Slice 75 of 155, Axial plane, Image width 240 mm, 1.00 mm slice spacing
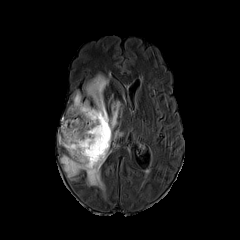
FLAIR MRI.
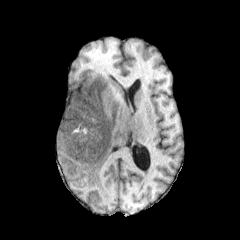
Same slice, T1-weighted MR image.
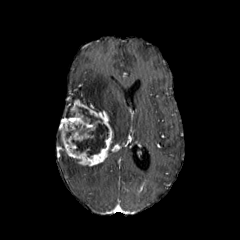
Post-contrast T1-weighted magnetic resonance of the same slice.
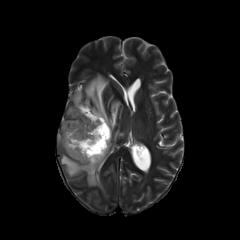
T2-weighted magnetic resonance of the same slice.
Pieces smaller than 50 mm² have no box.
peritumoral edema: bounding box <bbox>112, 129, 123, 141</bbox>, <bbox>60, 154, 104, 191</bbox>, <bbox>109, 100, 120, 131</bbox>, <bbox>85, 74, 109, 112</bbox>, <bbox>72, 91, 89, 105</bbox>
enhancing tumor: bounding box <bbox>59, 99, 112, 166</bbox>
necrotic tumor core: bounding box <bbox>71, 123, 108, 156</bbox>, <bbox>78, 107, 102, 123</bbox>